FLAIR magnetic resonance.
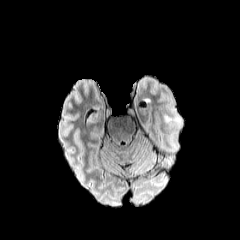
T1-weighted magnetic resonance.
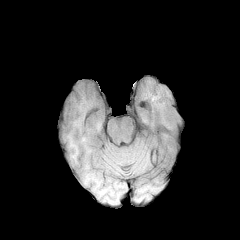
Post-contrast T1-weighted MR image.
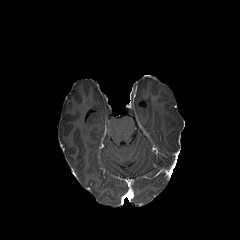
T2-weighted magnetic resonance.
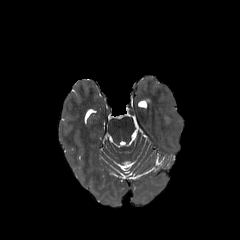
Brain.
<segmentation>
  <peritumoral_edema>rect(164, 115, 180, 122)</peritumoral_edema>
</segmentation>